Axial plane
FLAIR MR.
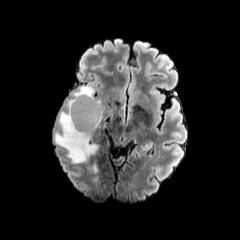
T1-weighted magnetic resonance.
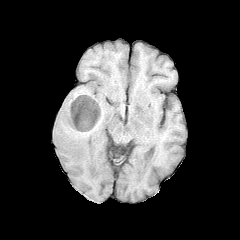
Post-contrast T1-weighted MR.
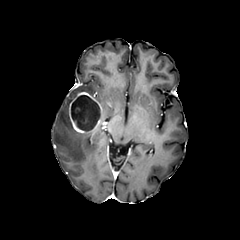
T2-weighted MR.
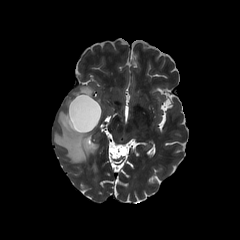
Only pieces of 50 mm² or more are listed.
<segmentation>
  <necrotic_tumor_core>bbox(71, 95, 100, 131)</necrotic_tumor_core>
  <enhancing_tumor>bbox(69, 92, 102, 134)</enhancing_tumor>
  <peritumoral_edema>bbox(88, 159, 97, 173); bbox(54, 85, 99, 163)</peritumoral_edema>
</segmentation>